FLAIR magnetic resonance.
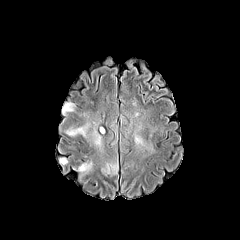
T1-weighted MR.
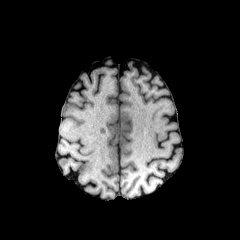
Post-contrast T1-weighted MR image.
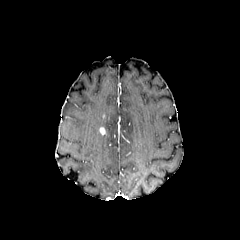
T2-weighted MRI.
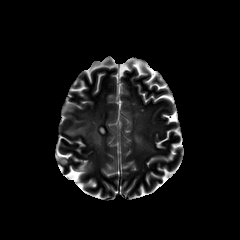
Axial plane
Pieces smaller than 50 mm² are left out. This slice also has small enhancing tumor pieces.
peritumoral edema: bbox=[79, 163, 91, 172]; bbox=[93, 129, 101, 145]; bbox=[63, 103, 73, 113]; bbox=[66, 124, 89, 136]; bbox=[135, 134, 142, 144]